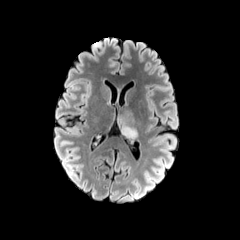
FLAIR MRI.
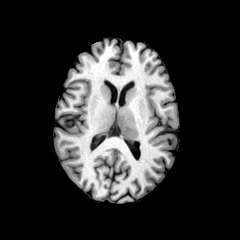
T1-weighted magnetic resonance.
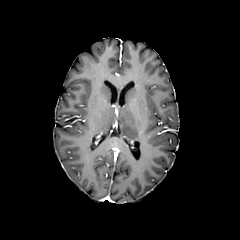
Post-contrast T1-weighted magnetic resonance of the same slice.
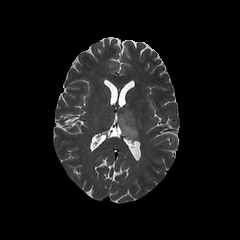
T2-weighted MR image.
Brain. Image size 240x240. Axial plane.
peritumoral edema: bounding box [x1=118, y1=110, x2=137, y2=139]